FLAIR MRI.
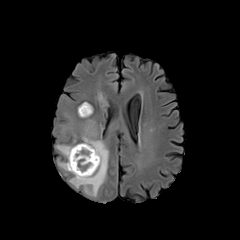
T1-weighted MR image.
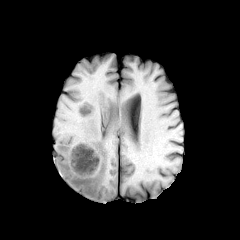
Post-contrast T1-weighted MR image.
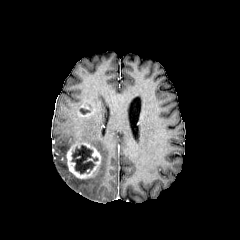
T2-weighted MRI.
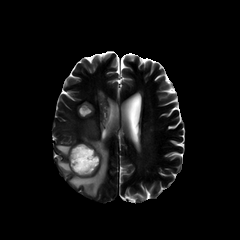
Axial slice
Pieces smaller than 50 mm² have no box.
* peritumoral edema: l=56, t=144, r=72, b=156; l=69, t=120, r=108, b=197; l=58, t=159, r=69, b=171
* necrotic tumor core: l=71, t=145, r=98, b=173; l=80, t=108, r=90, b=114
* enhancing tumor: l=78, t=104, r=93, b=116; l=66, t=142, r=100, b=178